FLAIR MRI.
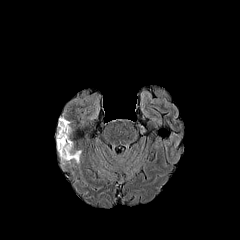
T1-weighted MR image.
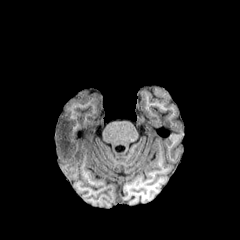
Post-contrast T1-weighted MR.
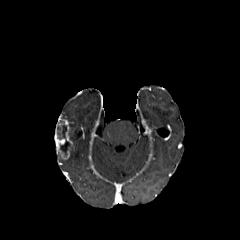
T2-weighted MR.
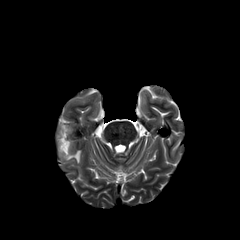
Axial plane
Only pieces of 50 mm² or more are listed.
• enhancing tumor: bbox(54, 117, 73, 159)
• necrotic tumor core: bbox(60, 140, 70, 155); bbox(61, 125, 66, 138)
• peritumoral edema: bbox(60, 150, 81, 163)